Slice index 76.
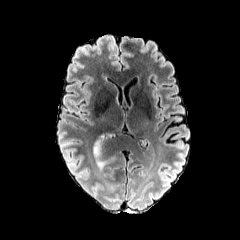
FLAIR MR image.
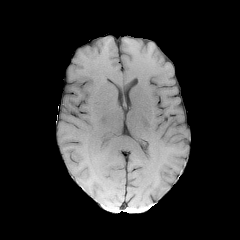
T1-weighted MRI of the same slice.
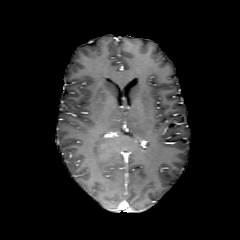
Same slice, post-contrast T1-weighted MR image.
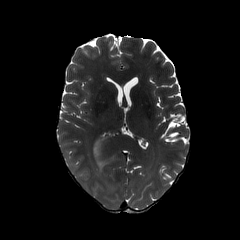
T2-weighted MRI of the same slice.
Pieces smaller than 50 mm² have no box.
{"peritumoral_edema": ["93:138:107:169"]}